Axial plane | Brain
FLAIR MRI.
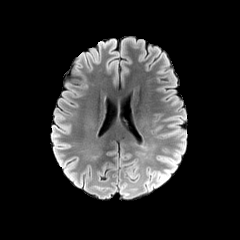
T1-weighted MR image.
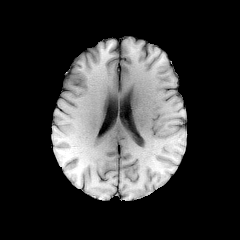
Post-contrast T1-weighted MRI.
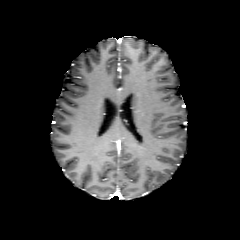
T2-weighted MR image.
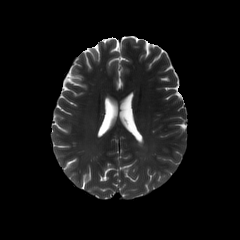
peritumoral edema: x1=157 y1=152 x2=181 y2=186